Image width 240 mm, Axial view, 240x240
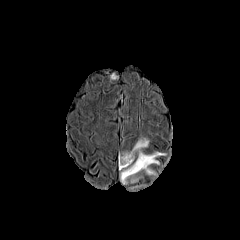
FLAIR MR.
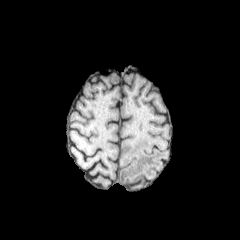
Same slice, T1-weighted magnetic resonance.
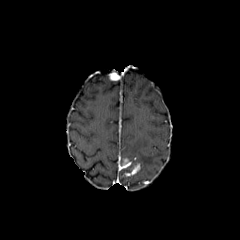
Post-contrast T1-weighted magnetic resonance.
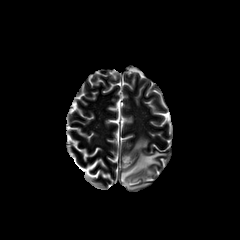
T2-weighted MR image.
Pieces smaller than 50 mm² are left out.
<segmentation>
  <enhancing_tumor>[123, 164, 139, 176]</enhancing_tumor>
  <peritumoral_edema>[120, 138, 165, 184]</peritumoral_edema>
</segmentation>